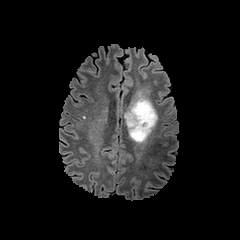
FLAIR magnetic resonance.
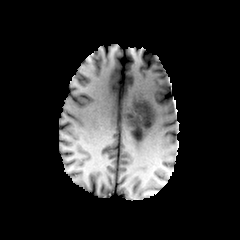
Same slice, T1-weighted MR.
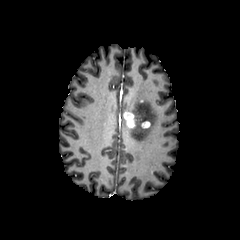
Post-contrast T1-weighted MR image.
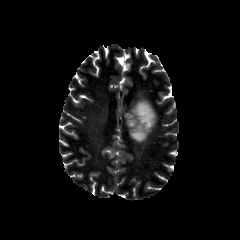
Same slice, T2-weighted MR.
Axial view | Head
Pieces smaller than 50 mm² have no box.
enhancing tumor: bounding box l=124, t=113, r=135, b=127; l=141, t=121, r=149, b=127
peritumoral edema: bounding box l=127, t=95, r=156, b=142